FLAIR MR.
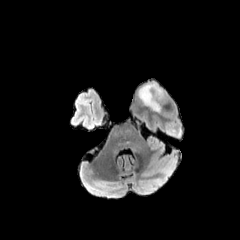
T1-weighted MR.
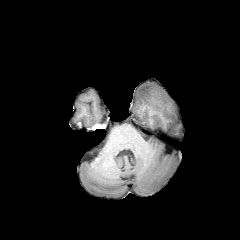
Post-contrast T1-weighted MR.
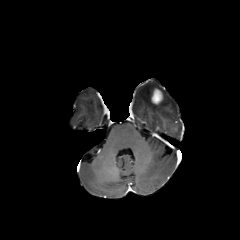
T2-weighted MRI.
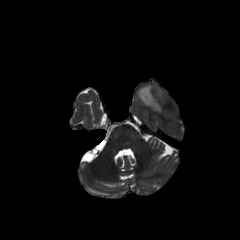
Axial view
peritumoral edema at left=138, top=82, right=166, bottom=112
enhancing tumor at left=151, top=88, right=163, bottom=104